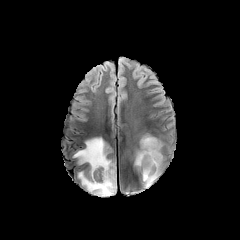
FLAIR MR image.
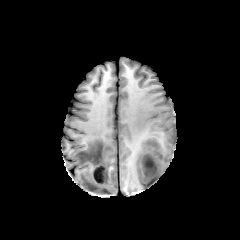
T1-weighted magnetic resonance.
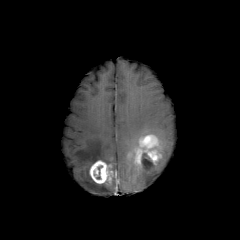
Post-contrast T1-weighted MRI of the same slice.
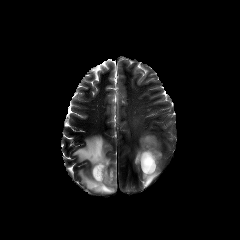
T2-weighted MR image.
240x240 px
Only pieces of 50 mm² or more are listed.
Annotated regions:
• necrotic tumor core: <bbox>141, 153, 154, 168</bbox>
• peritumoral edema: <bbox>73, 137, 116, 195</bbox>, <bbox>134, 154, 163, 188</bbox>
• enhancing tumor: <bbox>90, 160, 113, 183</bbox>, <bbox>135, 135, 161, 173</bbox>